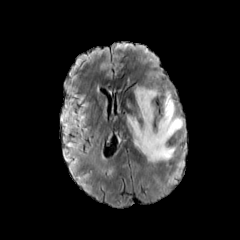
FLAIR magnetic resonance.
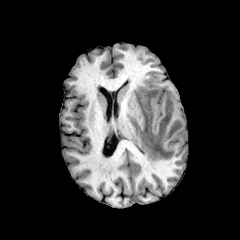
Same slice, T1-weighted MR.
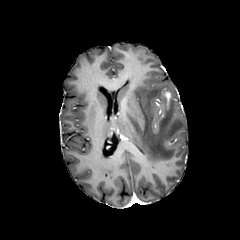
Post-contrast T1-weighted magnetic resonance.
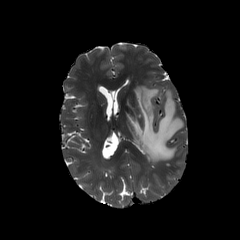
T2-weighted MR image.
Image size 240x240
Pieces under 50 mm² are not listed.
Findings:
* peritumoral edema: <box>127,86,183,162</box>
* enhancing tumor: <box>163,91,170,107</box>